Axial slice; Slice 100 of 155
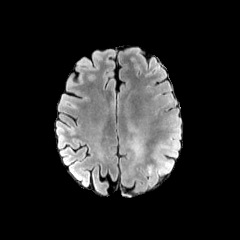
FLAIR MR.
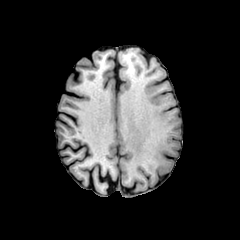
T1-weighted MRI.
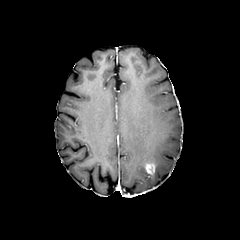
Post-contrast T1-weighted MR image.
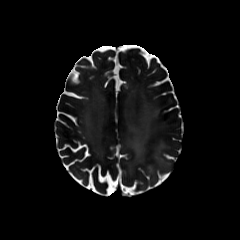
Same slice, T2-weighted MR.
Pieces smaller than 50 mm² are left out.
enhancing_tumor:
  - box=[145, 163, 154, 174]
peritumoral_edema:
  - box=[129, 137, 144, 161]